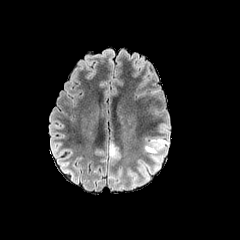
FLAIR MR.
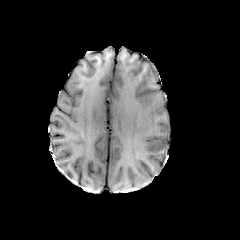
T1-weighted MR of the same slice.
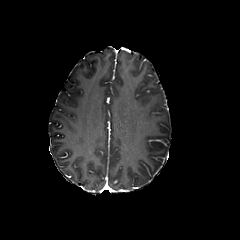
Same slice, post-contrast T1-weighted MR.
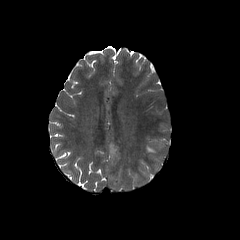
T2-weighted MR image of the same slice.
Axial slice, Brain
peritumoral edema: x1=145 y1=138 x2=167 y2=153, x1=152 y1=158 x2=159 y2=171